FLAIR MRI.
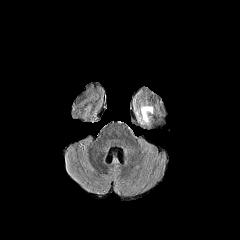
T1-weighted MRI.
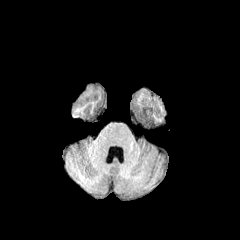
Post-contrast T1-weighted MRI.
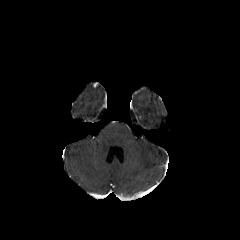
T2-weighted MR image.
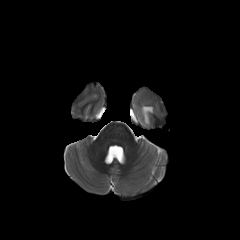
Head
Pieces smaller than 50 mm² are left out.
peritumoral_edema:
  - [135, 104, 153, 124]